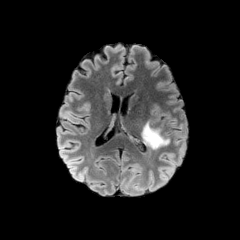
FLAIR MR image.
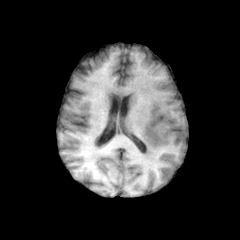
T1-weighted MR image.
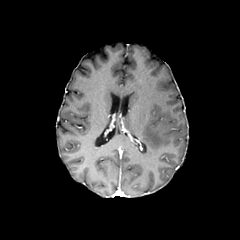
Same slice, post-contrast T1-weighted MR image.
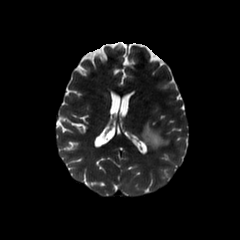
T2-weighted MR image.
Brain
peritumoral edema: bounding box x1=142, y1=122, x2=169, y2=149